240x240 px | Axial view | Slice index 73 | Head | Image width 240 mm
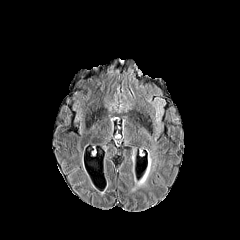
FLAIR magnetic resonance.
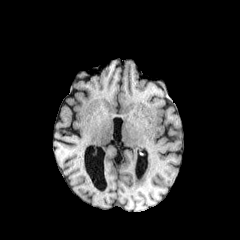
Same slice, T1-weighted MRI.
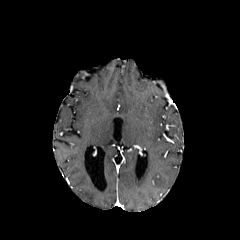
Post-contrast T1-weighted MR image.
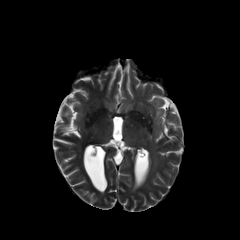
Same slice, T2-weighted MR image.
peritumoral edema at bbox=[140, 154, 150, 183]